FLAIR MR image.
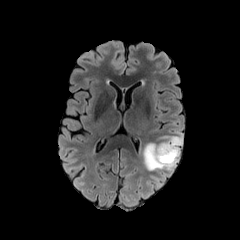
T1-weighted MR.
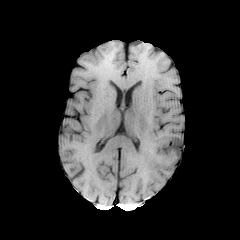
Post-contrast T1-weighted magnetic resonance.
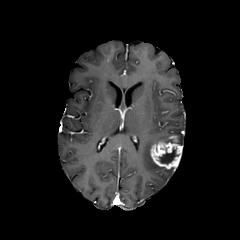
T2-weighted MR image.
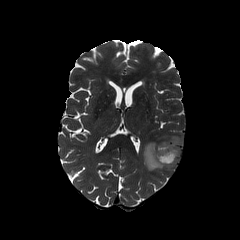
Axial plane. Brain.
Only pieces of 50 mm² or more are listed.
Findings:
- peritumoral edema: {"x1": 143, "y1": 141, "x2": 175, "y2": 172}, {"x1": 160, "y1": 136, "x2": 171, "y2": 142}
- necrotic tumor core: {"x1": 159, "y1": 148, "x2": 179, "y2": 163}
- enhancing tumor: {"x1": 150, "y1": 136, "x2": 181, "y2": 169}